Head, Image size 240x240, Slice 100/155
FLAIR MRI.
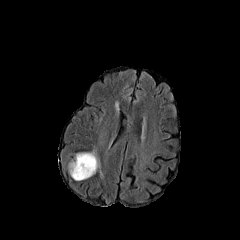
T1-weighted MR.
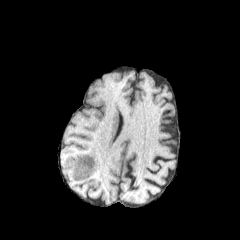
Post-contrast T1-weighted MR.
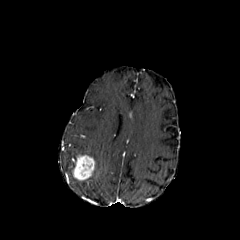
T2-weighted MRI.
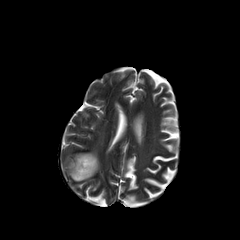
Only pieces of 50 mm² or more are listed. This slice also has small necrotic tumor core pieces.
enhancing tumor — <box>72,155,95,180</box>
peritumoral edema — <box>68,150,104,180</box>